FLAIR MR.
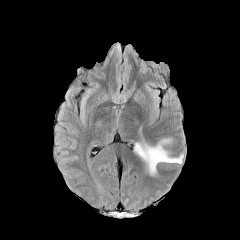
T1-weighted MRI.
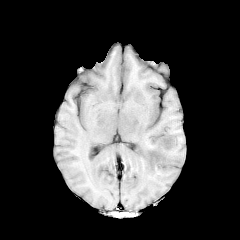
Post-contrast T1-weighted MR image.
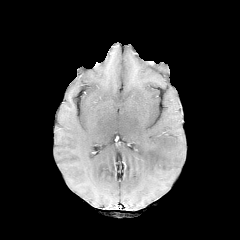
T2-weighted magnetic resonance.
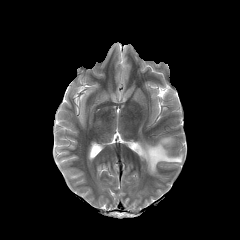
Brain
The peritumoral edema is at 134:138:183:175.